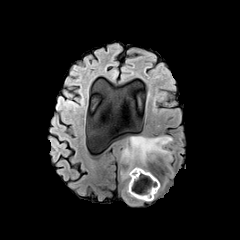
FLAIR MRI.
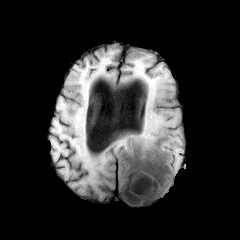
T1-weighted magnetic resonance.
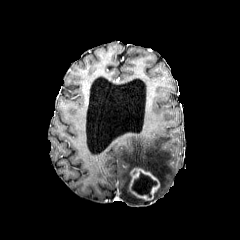
Same slice, post-contrast T1-weighted MR.
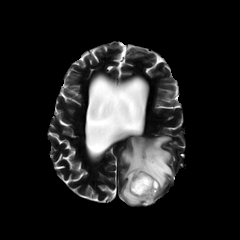
T2-weighted MR.
Axial slice.
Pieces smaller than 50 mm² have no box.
peritumoral edema: bounding box l=121, t=136, r=173, b=204
enhancing tumor: bounding box l=129, t=168, r=159, b=200
necrotic tumor core: bounding box l=132, t=173, r=156, b=197